Slice 94 of 155. 240x240 px. Head.
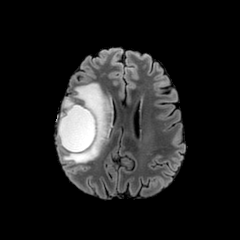
FLAIR MR.
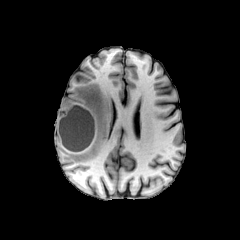
T1-weighted MR image.
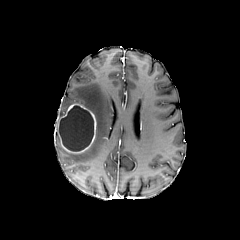
Post-contrast T1-weighted MR image.
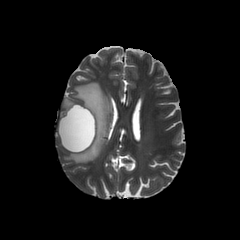
Same slice, T2-weighted magnetic resonance.
peritumoral edema at l=60, t=97, r=75, b=117; l=56, t=83, r=111, b=163
enhancing tumor at l=57, t=103, r=96, b=153
necrotic tumor core at l=59, t=105, r=93, b=151